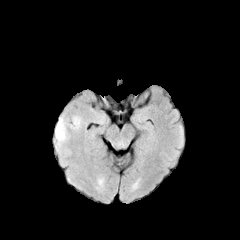
FLAIR MR image.
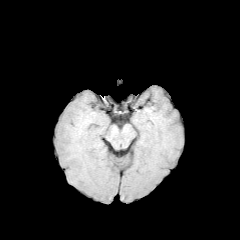
T1-weighted MR.
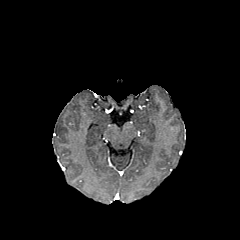
Post-contrast T1-weighted magnetic resonance.
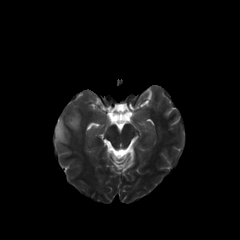
T2-weighted MR.
Brain. Axial plane. 240x240.
peritumoral edema — left=54, top=114, right=82, bottom=153